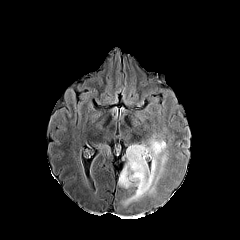
FLAIR MR.
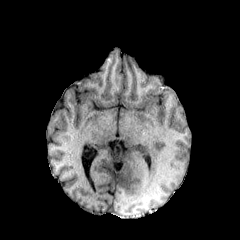
Same slice, T1-weighted MR.
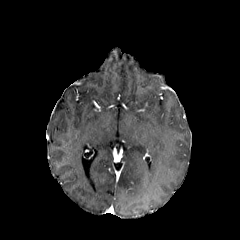
Post-contrast T1-weighted MRI.
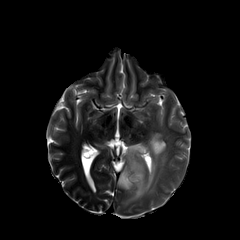
T2-weighted MRI of the same slice.
240x240 px. Head.
The peritumoral edema appears at <bbox>118, 133, 166, 204</bbox>.